FLAIR MR image.
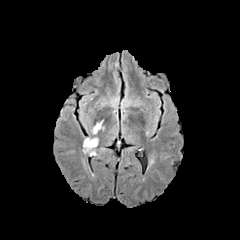
T1-weighted MRI.
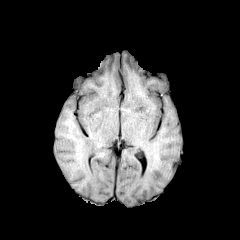
Post-contrast T1-weighted MR.
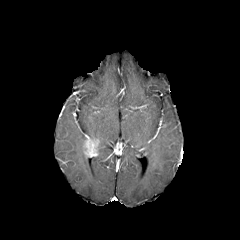
T2-weighted magnetic resonance.
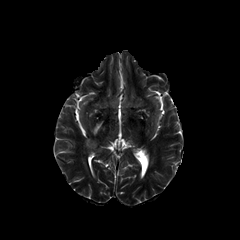
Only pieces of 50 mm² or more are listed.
peritumoral_edema:
  - 92,121,102,134
enhancing_tumor:
  - 84,138,98,154